Head | Slice 89 of 155
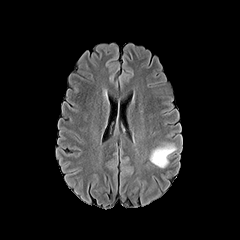
FLAIR MRI.
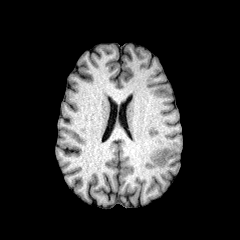
Same slice, T1-weighted magnetic resonance.
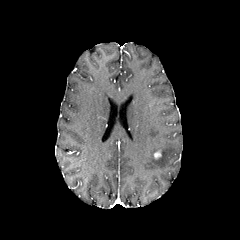
Post-contrast T1-weighted MR of the same slice.
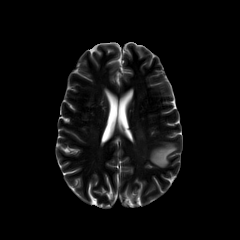
T2-weighted MR.
Annotated regions:
- enhancing tumor: 154 150 161 159
- peritumoral edema: 149 143 176 168